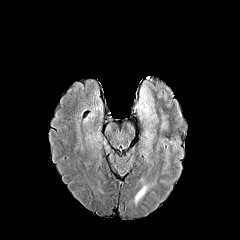
FLAIR magnetic resonance.
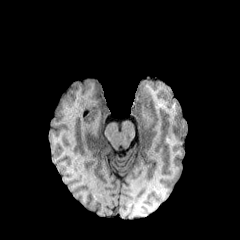
T1-weighted MRI of the same slice.
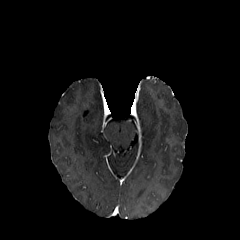
Post-contrast T1-weighted MRI of the same slice.
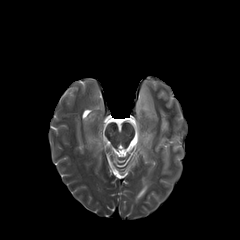
Same slice, T2-weighted MR.
240x240. Axial slice.
peritumoral edema = (left=145, top=131, right=153, bottom=145), (left=137, top=83, right=155, bottom=119)